240x240 px | Axial slice | Image covers 240 mm x 240 mm
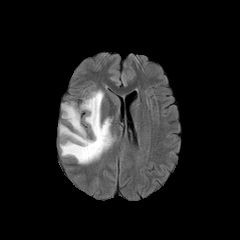
FLAIR magnetic resonance.
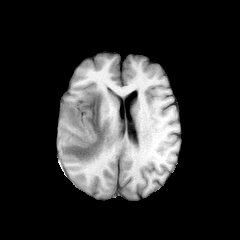
T1-weighted MRI.
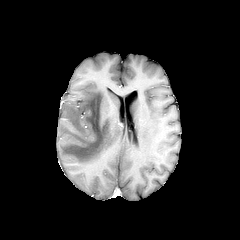
Post-contrast T1-weighted magnetic resonance.
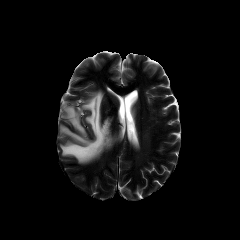
T2-weighted MR of the same slice.
Segmented structures:
- peritumoral edema: (x1=59, y1=90, x2=115, y2=164)